FLAIR MRI.
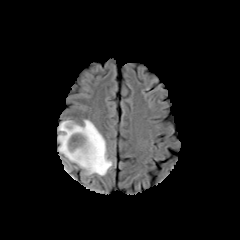
T1-weighted MR image.
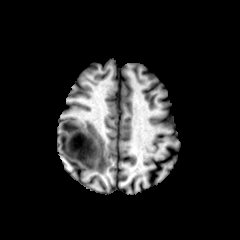
Post-contrast T1-weighted magnetic resonance.
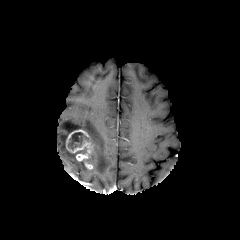
T2-weighted MRI.
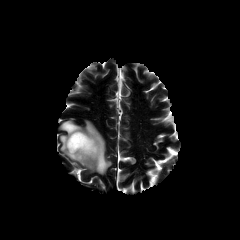
Head
<segmentation>
  <peritumoral_edema>bbox(58, 120, 112, 175)</peritumoral_edema>
  <necrotic_tumor_core>bbox(68, 132, 88, 149)</necrotic_tumor_core>
  <enhancing_tumor>bbox(65, 129, 93, 169)</enhancing_tumor>
</segmentation>